Image width 240 mm, Head, 240x240 px, Slice 46 of 155
FLAIR magnetic resonance.
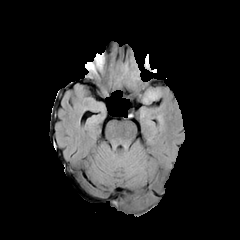
T1-weighted MRI.
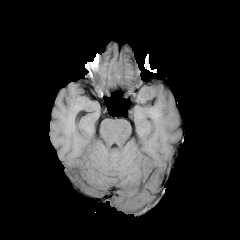
Post-contrast T1-weighted MRI.
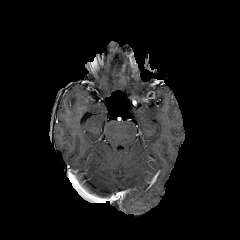
T2-weighted MR image.
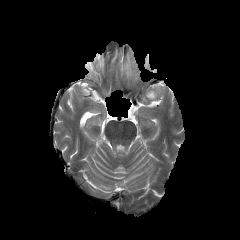
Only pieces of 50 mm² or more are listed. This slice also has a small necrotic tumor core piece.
peritumoral edema = 122:63:138:80
enhancing tumor = 143:91:155:101, 129:52:139:79